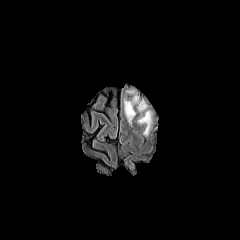
FLAIR MRI.
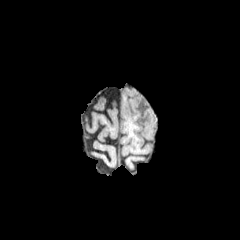
T1-weighted MR.
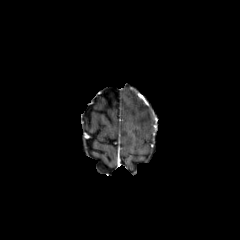
Post-contrast T1-weighted magnetic resonance.
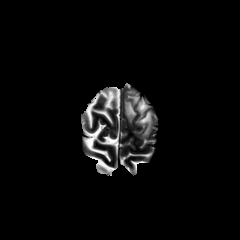
T2-weighted magnetic resonance.
Brain
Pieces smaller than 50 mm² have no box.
- peritumoral edema: x1=137 y1=110 x2=151 y2=135, x1=124 y1=95 x2=146 y2=123